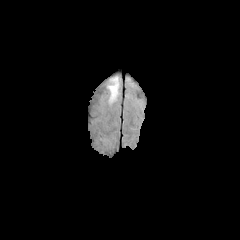
FLAIR MRI.
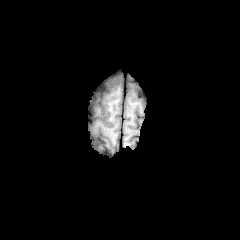
T1-weighted MR image.
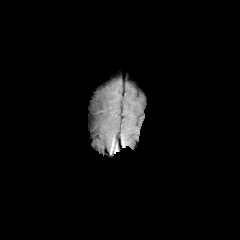
Same slice, post-contrast T1-weighted magnetic resonance.
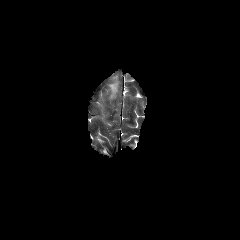
Same slice, T2-weighted magnetic resonance.
peritumoral edema = bbox=[106, 77, 118, 104]